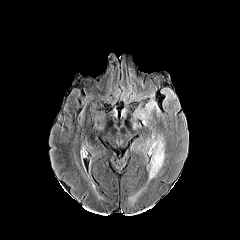
FLAIR MR.
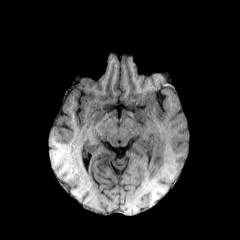
T1-weighted MRI.
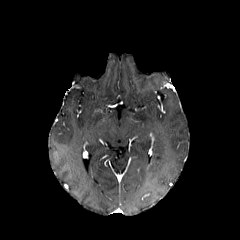
Post-contrast T1-weighted MR of the same slice.
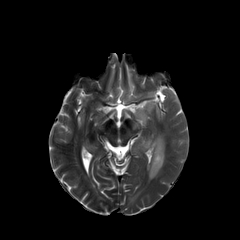
T2-weighted MRI.
Brain. Axial view.
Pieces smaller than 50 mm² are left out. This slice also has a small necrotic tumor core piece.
peritumoral edema: <bbox>138, 135, 165, 180</bbox>, <bbox>135, 103, 155, 125</bbox>